240x240 px | Slice 47/155
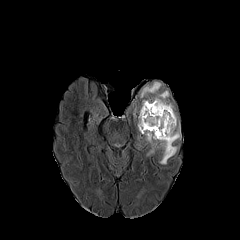
FLAIR MR.
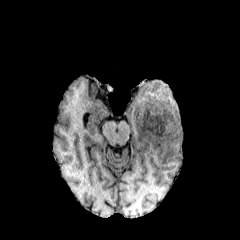
T1-weighted magnetic resonance.
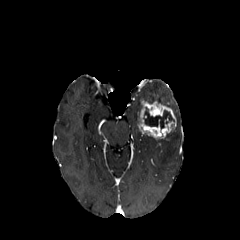
Same slice, post-contrast T1-weighted MR.
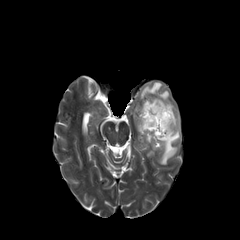
Same slice, T2-weighted MRI.
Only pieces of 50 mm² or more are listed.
{"enhancing_tumor": ["137:100:176:139"], "peritumoral_edema": ["133:81:181:164"], "necrotic_tumor_core": ["144:107:174:128"]}